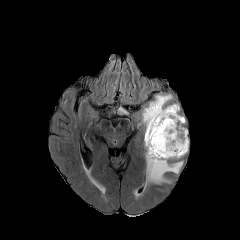
FLAIR MR image.
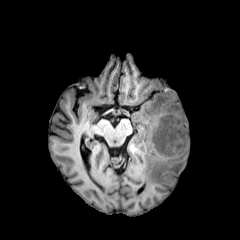
T1-weighted magnetic resonance.
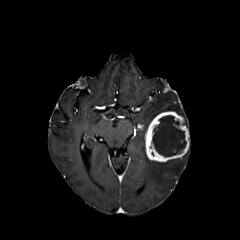
Post-contrast T1-weighted MR.
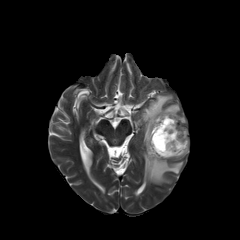
T2-weighted MR of the same slice.
240x240; Axial view
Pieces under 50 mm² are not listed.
necrotic tumor core: 152:116:186:156
enhancing tumor: 145:111:189:162
peritumoral edema: 146:154:183:183, 142:94:179:130